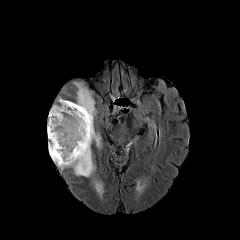
FLAIR MRI.
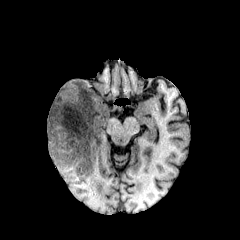
T1-weighted magnetic resonance of the same slice.
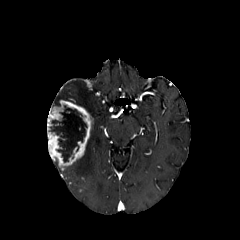
Post-contrast T1-weighted MRI.
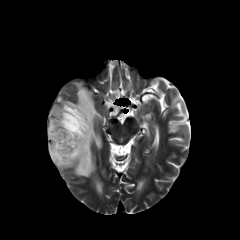
T2-weighted MRI.
240x240
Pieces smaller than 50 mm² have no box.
<segmentation>
  <peritumoral_edema>(93,178,103,196), (74,82,96,120), (65,125,100,177)</peritumoral_edema>
  <necrotic_tumor_core>(50,105,86,161)</necrotic_tumor_core>
  <enhancing_tumor>(47,100,93,168)</enhancing_tumor>
</segmentation>